Head, Axial slice
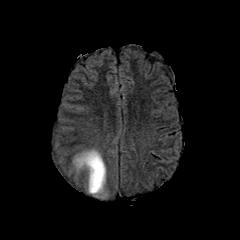
FLAIR MRI.
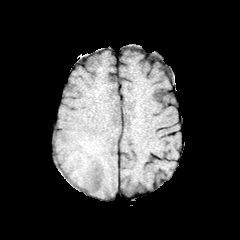
Same slice, T1-weighted MR image.
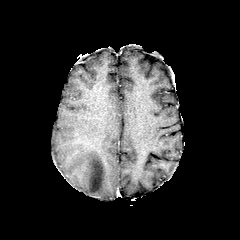
Post-contrast T1-weighted MRI.
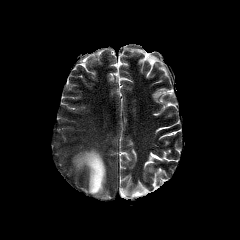
T2-weighted MRI.
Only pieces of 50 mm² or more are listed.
<segmentation>
  <peritumoral_edema>region(73, 149, 105, 195)</peritumoral_edema>
</segmentation>